Slice 53 of 155; 240x240 px; Brain; Axial view
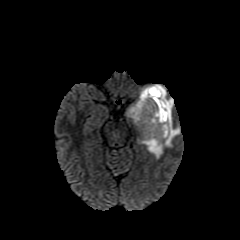
FLAIR MR image.
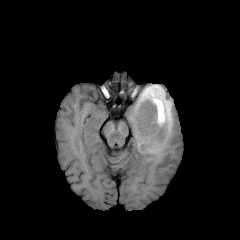
T1-weighted MR image.
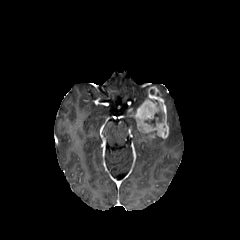
Post-contrast T1-weighted MRI of the same slice.
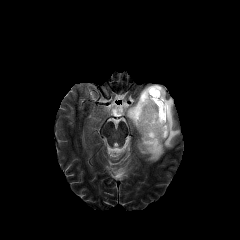
T2-weighted MR image.
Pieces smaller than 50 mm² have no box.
peritumoral edema — <bbox>129, 84, 180, 159</bbox>, <bbox>126, 111, 136, 127</bbox>
enhancing tumor — <bbox>128, 86, 168, 142</bbox>
necrotic tumor core — <bbox>145, 109, 163, 125</bbox>